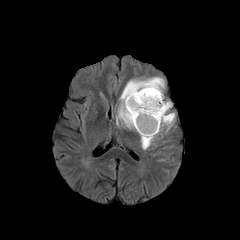
FLAIR magnetic resonance.
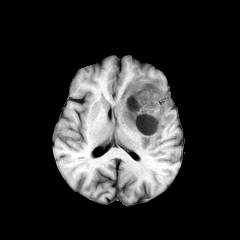
T1-weighted magnetic resonance.
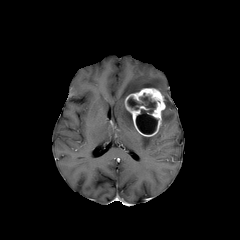
Same slice, post-contrast T1-weighted MR image.
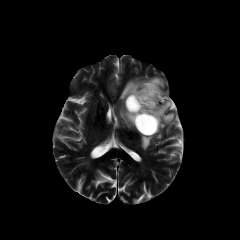
T2-weighted MRI.
Segmented structures:
* peritumoral edema: bbox=[116, 76, 164, 129]; bbox=[140, 100, 175, 149]
* necrotic tumor core: bbox=[127, 96, 157, 134]
* enhancing tumor: bbox=[125, 88, 165, 136]